FLAIR MR image.
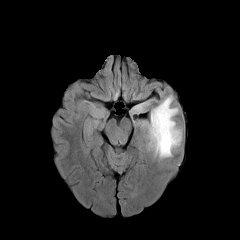
T1-weighted MR.
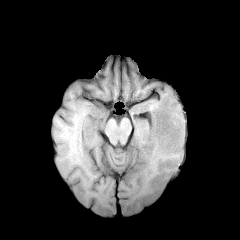
Post-contrast T1-weighted MR.
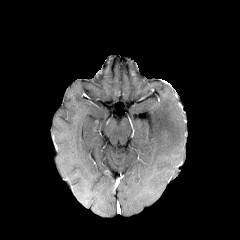
T2-weighted MRI.
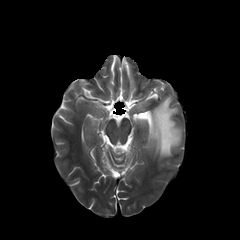
Head. Axial plane.
• peritumoral edema: {"x1": 142, "y1": 95, "x2": 181, "y2": 158}, {"x1": 129, "y1": 100, "x2": 149, "y2": 113}